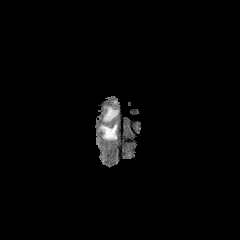
FLAIR MR image.
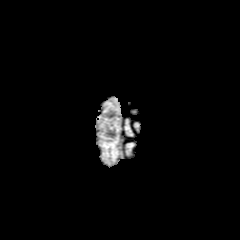
Same slice, T1-weighted magnetic resonance.
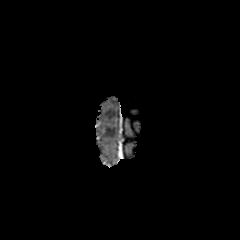
Post-contrast T1-weighted MR image.
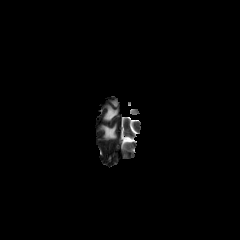
T2-weighted MR of the same slice.
<segmentation>
  <peritumoral_edema>(106,109,115,119), (102,126,116,138)</peritumoral_edema>
</segmentation>